Axial slice, Slice index 61
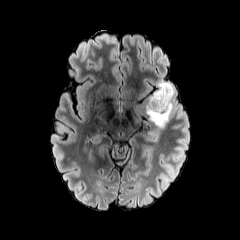
FLAIR MR.
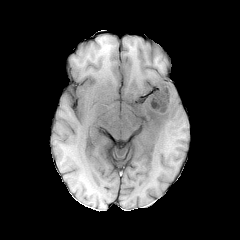
T1-weighted MR image.
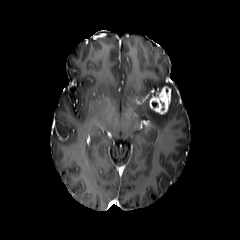
Post-contrast T1-weighted MRI.
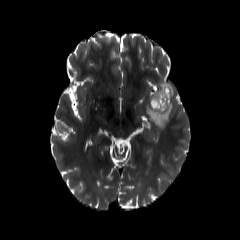
Same slice, T2-weighted magnetic resonance.
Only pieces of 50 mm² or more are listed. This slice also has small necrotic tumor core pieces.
enhancing tumor: bounding box (left=149, top=86, right=171, bottom=114)
peritumoral edema: bounding box (left=146, top=80, right=175, bottom=128)